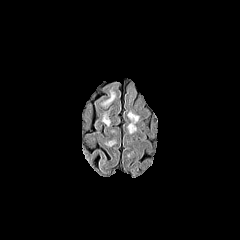
FLAIR magnetic resonance.
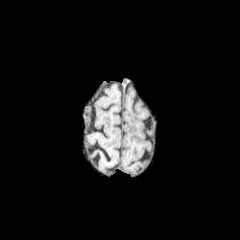
Same slice, T1-weighted MR.
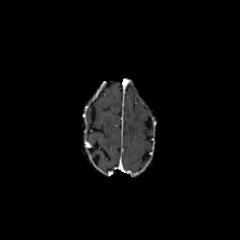
Post-contrast T1-weighted MRI.
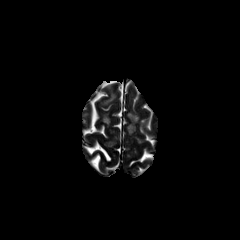
T2-weighted MR image of the same slice.
2 peritumoral edema regions are bounded by (x1=128, y1=124, x2=135, y2=132), (x1=128, y1=112, x2=138, y2=121).